Axial slice.
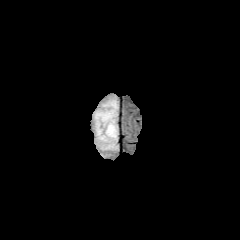
FLAIR MR.
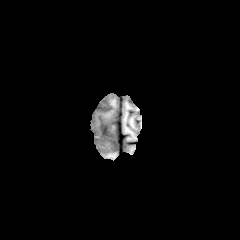
T1-weighted magnetic resonance of the same slice.
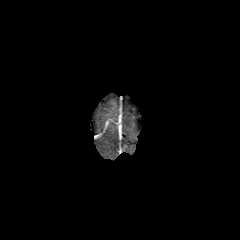
Post-contrast T1-weighted magnetic resonance.
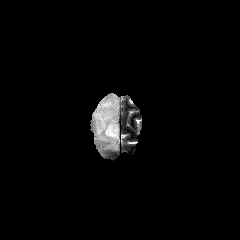
Same slice, T2-weighted MR.
{"peritumoral_edema": ["x1=93, y1=96, x2=118, y2=150"]}